FLAIR magnetic resonance.
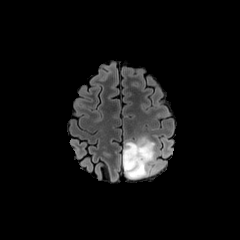
T1-weighted magnetic resonance.
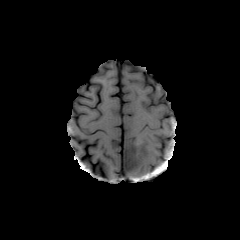
Post-contrast T1-weighted MRI.
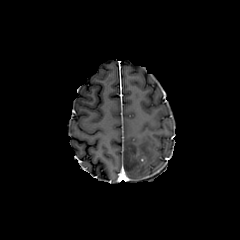
T2-weighted MR image.
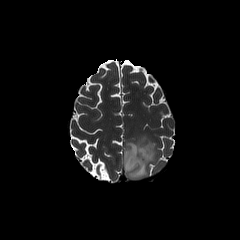
Head; Axial plane
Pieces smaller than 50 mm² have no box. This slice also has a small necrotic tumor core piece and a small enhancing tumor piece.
The peritumoral edema is located at (123,136,163,179).